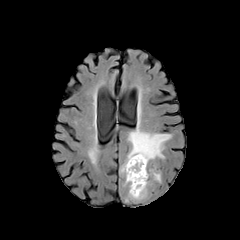
FLAIR MR.
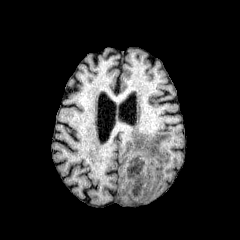
Same slice, T1-weighted MRI.
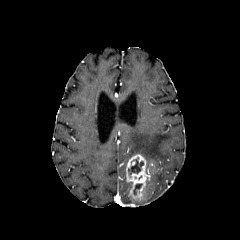
Post-contrast T1-weighted MR image.
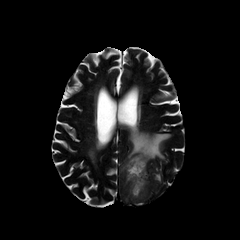
T2-weighted MR.
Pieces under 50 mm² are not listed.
{"necrotic_tumor_core": ["rect(128, 159, 143, 174)"], "enhancing_tumor": ["rect(126, 154, 150, 201)"], "peritumoral_edema": ["rect(152, 170, 161, 182)", "rect(120, 126, 171, 173)"]}